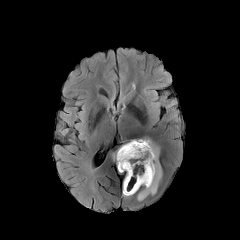
FLAIR magnetic resonance.
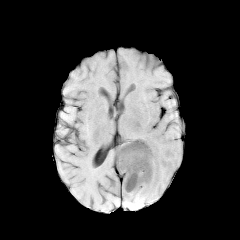
T1-weighted MR image.
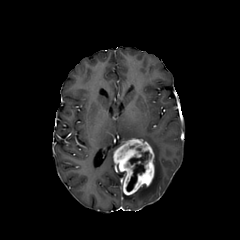
Post-contrast T1-weighted magnetic resonance.
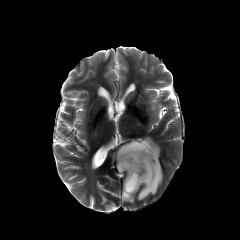
T2-weighted MR.
Head. Axial plane.
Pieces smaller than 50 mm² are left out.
Annotated regions:
• enhancing tumor: box=[113, 139, 154, 195]
• necrotic tumor core: box=[126, 148, 148, 191]
• peritumoral edema: box=[137, 138, 162, 200]